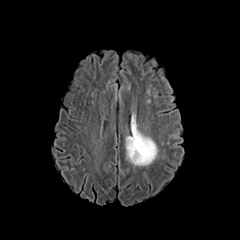
FLAIR MR image.
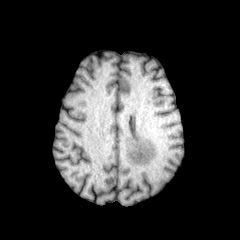
T1-weighted magnetic resonance.
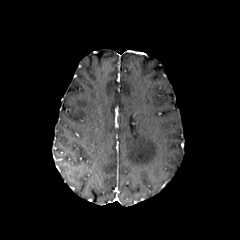
Post-contrast T1-weighted MR image.
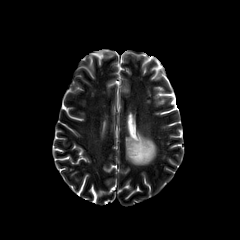
T2-weighted magnetic resonance.
240x240 px
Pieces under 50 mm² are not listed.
The largest peritumoral edema region is located at bbox(125, 125, 157, 166).